Axial slice; Image covers 240 mm x 240 mm
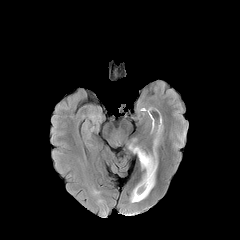
FLAIR magnetic resonance.
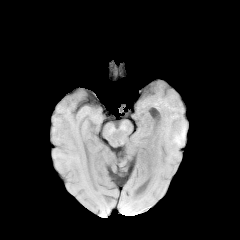
T1-weighted MRI.
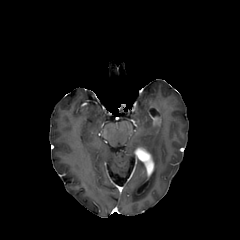
Post-contrast T1-weighted MR image.
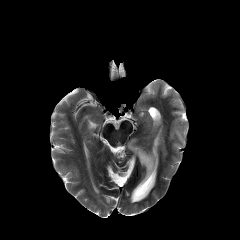
T2-weighted MR image.
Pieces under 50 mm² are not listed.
Findings:
• peritumoral edema: 130:122:161:202, 128:144:139:152
• enhancing tumor: 134:147:154:177